FLAIR magnetic resonance.
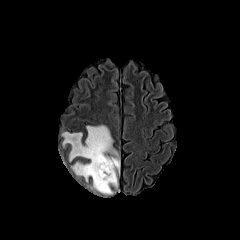
T1-weighted MRI.
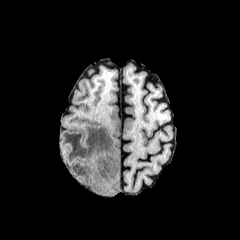
Post-contrast T1-weighted MRI.
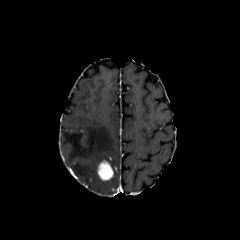
T2-weighted magnetic resonance.
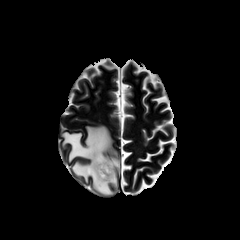
240x240 px; Head
{"enhancing_tumor": ["x1=97, y1=160, x2=113, y2=180"], "peritumoral_edema": ["x1=62, y1=125, x2=119, y2=194"]}